FLAIR MRI.
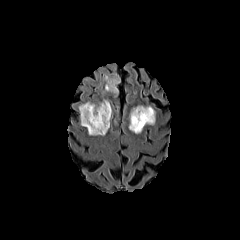
T1-weighted MRI.
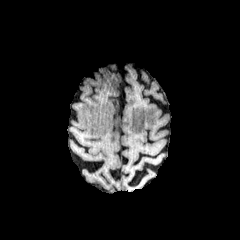
Post-contrast T1-weighted MRI.
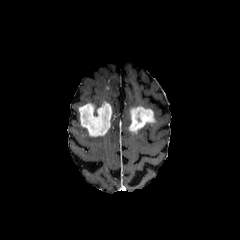
T2-weighted magnetic resonance.
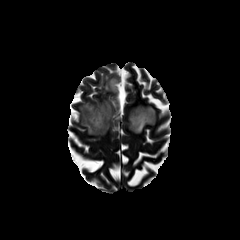
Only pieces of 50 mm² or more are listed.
enhancing tumor: bounding box l=129, t=106, r=155, b=133; l=79, t=101, r=111, b=136
peritumoral edema: bounding box l=102, t=72, r=120, b=95